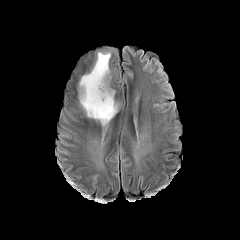
FLAIR MR image.
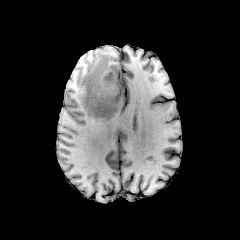
T1-weighted magnetic resonance.
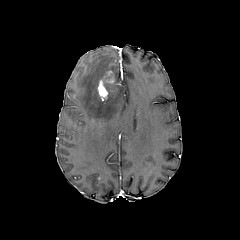
Post-contrast T1-weighted MR image.
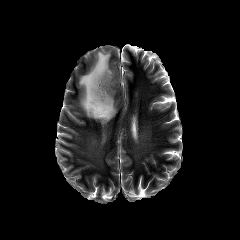
T2-weighted MRI.
Brain; Axial view
The enhancing tumor lies within 97,71,114,100. The peritumoral edema is bounded by 79,51,118,126.